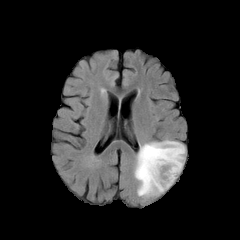
FLAIR MR image.
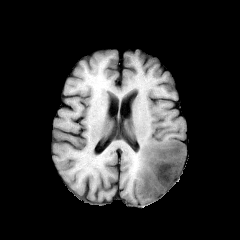
T1-weighted magnetic resonance.
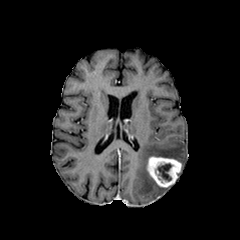
Same slice, post-contrast T1-weighted MRI.
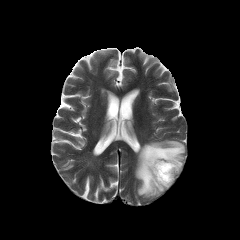
T2-weighted magnetic resonance.
Head
The peritumoral edema appears at [134, 140, 185, 198]. The necrotic tumor core lies within [158, 163, 171, 180]. The enhancing tumor lies within [146, 156, 181, 187].